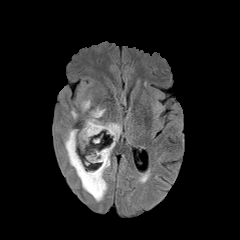
FLAIR MRI.
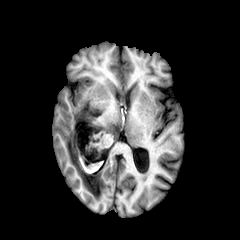
Same slice, T1-weighted MR.
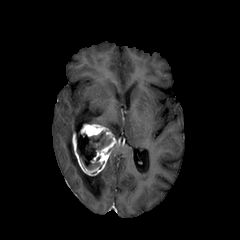
Post-contrast T1-weighted MRI.
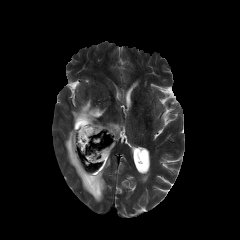
T2-weighted MR image.
Brain
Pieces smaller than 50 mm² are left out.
necrotic tumor core — 76 131 111 169
enhancing tumor — 72 124 116 175
peritumoral edema — 64 129 110 201, 84 107 121 141, 81 100 90 113